FLAIR MR.
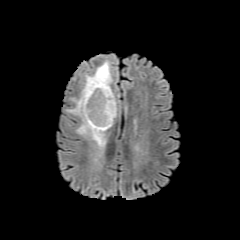
T1-weighted MR.
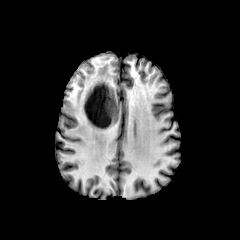
Post-contrast T1-weighted MRI.
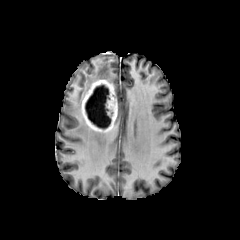
T2-weighted MR.
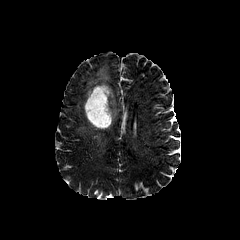
Axial slice.
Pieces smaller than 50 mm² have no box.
{
  "peritumoral_edema": [
    "[67,62,111,148]"
  ],
  "necrotic_tumor_core": [
    "[85,85,111,129]"
  ],
  "enhancing_tumor": [
    "[81,79,117,131]"
  ]
}